Image size 240x240 | Brain
FLAIR MR.
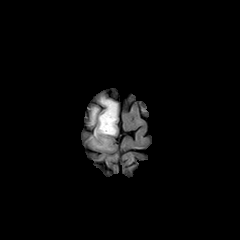
T1-weighted MR.
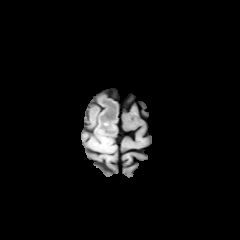
Post-contrast T1-weighted MR.
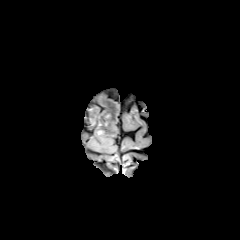
T2-weighted MR image.
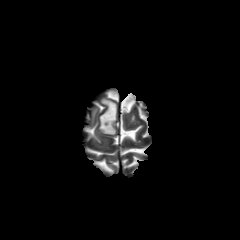
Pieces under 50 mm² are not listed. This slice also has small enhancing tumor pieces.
peritumoral edema at 94, 97, 117, 137; 91, 108, 98, 124